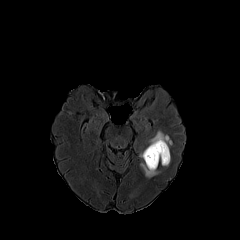
FLAIR MR image.
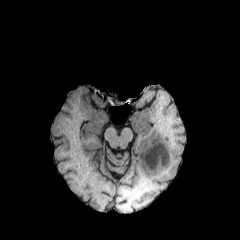
T1-weighted MR of the same slice.
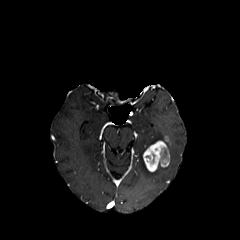
Post-contrast T1-weighted MRI.
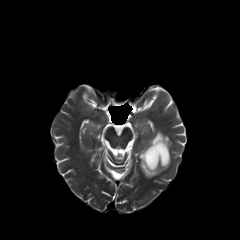
Same slice, T2-weighted MRI.
Head, Axial plane
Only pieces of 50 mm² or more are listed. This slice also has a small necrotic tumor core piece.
<segmentation>
  <peritumoral_edema>[148, 130, 172, 147], [139, 151, 166, 178]</peritumoral_edema>
  <enhancing_tumor>[143, 140, 169, 171]</enhancing_tumor>
</segmentation>